FLAIR MR image.
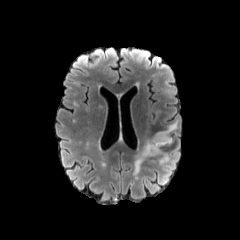
T1-weighted magnetic resonance.
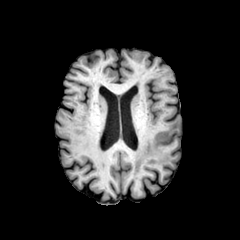
Post-contrast T1-weighted magnetic resonance.
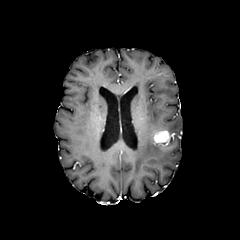
T2-weighted magnetic resonance.
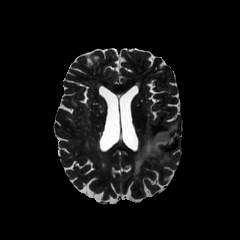
Axial slice
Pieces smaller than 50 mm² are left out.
peritumoral edema: box(157, 154, 168, 163); box(133, 134, 173, 176); box(166, 119, 178, 133)
enhancing tumor: box(153, 130, 171, 145)